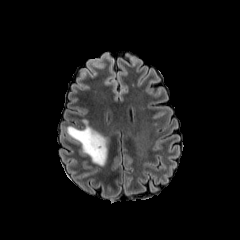
FLAIR MR image.
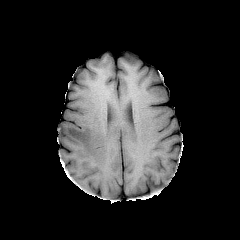
Same slice, T1-weighted magnetic resonance.
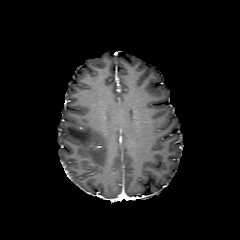
Post-contrast T1-weighted MRI.
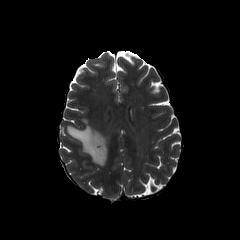
T2-weighted MR image of the same slice.
Brain.
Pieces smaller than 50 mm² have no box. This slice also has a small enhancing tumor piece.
The peritumoral edema is bounded by x1=66, y1=120, x2=107, y2=166.